FLAIR MR.
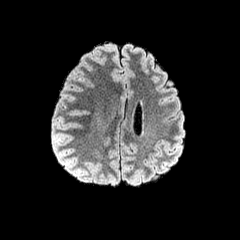
T1-weighted MRI.
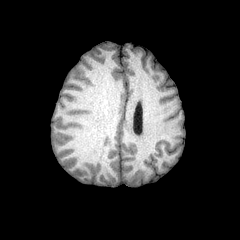
Post-contrast T1-weighted magnetic resonance.
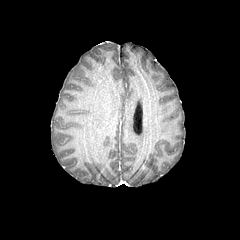
T2-weighted magnetic resonance.
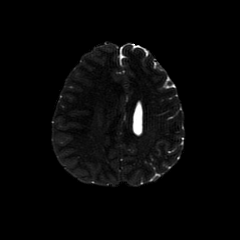
Head; 240x240
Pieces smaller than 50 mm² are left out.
The largest peritumoral edema region is bounded by 98 45 114 50.